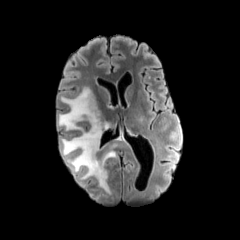
FLAIR MR image.
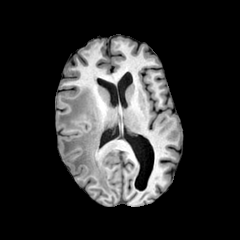
T1-weighted magnetic resonance of the same slice.
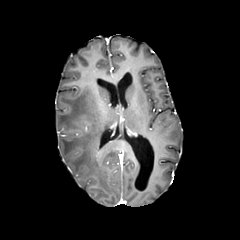
Post-contrast T1-weighted magnetic resonance of the same slice.
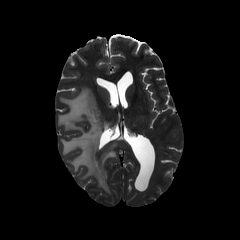
T2-weighted MRI of the same slice.
240x240 px, Brain
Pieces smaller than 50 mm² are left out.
peritumoral edema: bounding box x1=58 y1=87 x2=128 y2=193